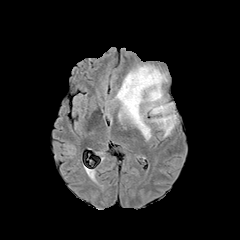
FLAIR MRI.
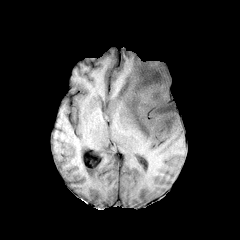
Same slice, T1-weighted magnetic resonance.
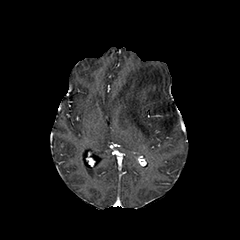
Same slice, post-contrast T1-weighted MRI.
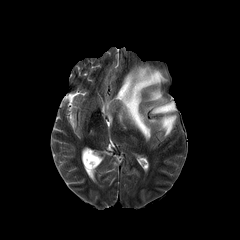
T2-weighted MR.
Image size 240x240
{"peritumoral_edema": ["115,65,176,140"]}